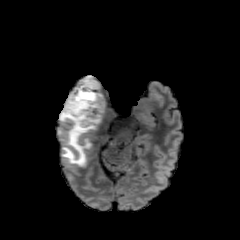
FLAIR MR image.
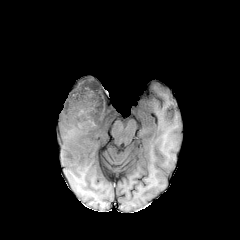
T1-weighted MR image of the same slice.
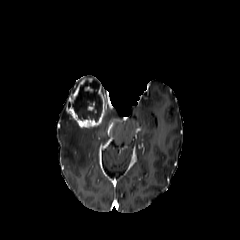
Post-contrast T1-weighted MR.
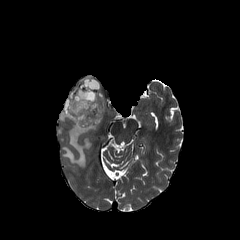
T2-weighted MR image.
240x240; Head
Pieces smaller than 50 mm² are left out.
necrotic tumor core — (72,80,102,121)
enhancing tumor — (65,76,106,128)
peritumoral edema — (59,86,116,166)